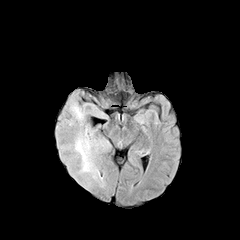
FLAIR MR image.
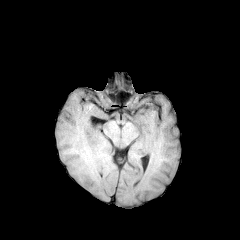
T1-weighted MR image of the same slice.
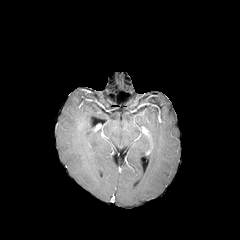
Post-contrast T1-weighted MRI.
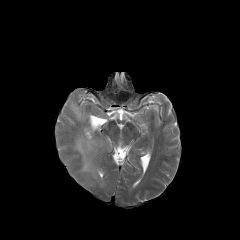
T2-weighted MR image.
Head
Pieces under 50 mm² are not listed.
<segmentation>
  <peritumoral_edema><box>69,102,106,186</box></peritumoral_edema>
</segmentation>